Image size 240x240
FLAIR MRI.
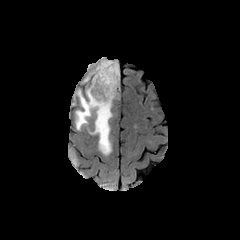
T1-weighted magnetic resonance.
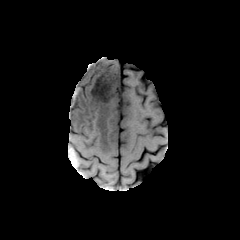
Post-contrast T1-weighted MR.
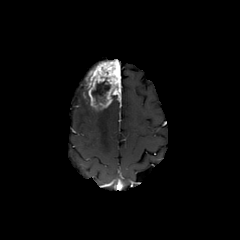
T2-weighted MRI.
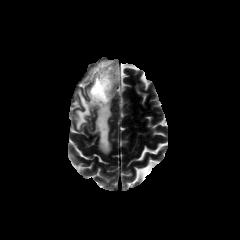
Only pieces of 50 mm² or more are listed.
enhancing tumor at {"x1": 85, "y1": 59, "x2": 121, "y2": 110}
necrotic tumor core at {"x1": 92, "y1": 81, "x2": 109, "y2": 98}
peritumoral edema at {"x1": 75, "y1": 87, "x2": 113, "y2": 155}